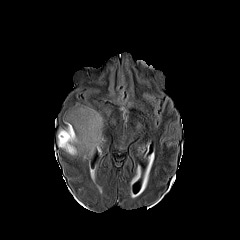
FLAIR magnetic resonance.
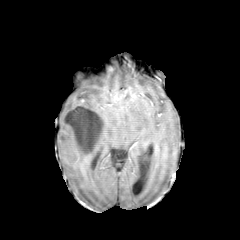
T1-weighted MR image of the same slice.
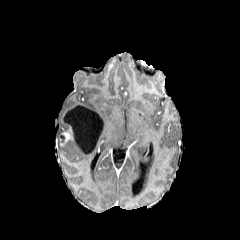
Post-contrast T1-weighted MR image of the same slice.
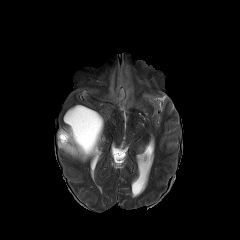
T2-weighted MR of the same slice.
Image size 240x240.
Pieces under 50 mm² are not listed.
Annotated regions:
- necrotic tumor core: box(64, 106, 102, 154)
- peritumoral edema: box(57, 104, 104, 160)
- enhancing tumor: box(60, 127, 72, 146)